Head; Slice index 120
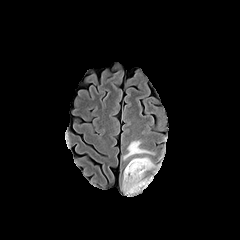
FLAIR MR.
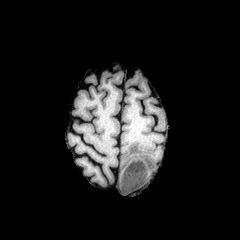
T1-weighted MR.
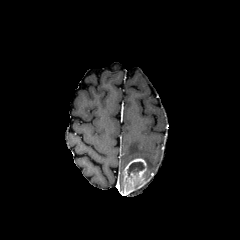
Post-contrast T1-weighted MRI.
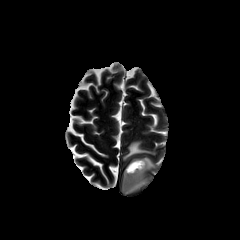
Same slice, T2-weighted MR image.
The necrotic tumor core is at rect(127, 162, 144, 175). The enhancing tumor is located at rect(122, 158, 150, 195). 2 peritumoral edema regions are bounded by rect(142, 156, 156, 169); rect(123, 140, 154, 160).